FLAIR MR image.
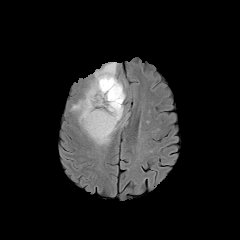
T1-weighted magnetic resonance.
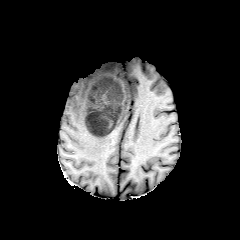
Post-contrast T1-weighted magnetic resonance.
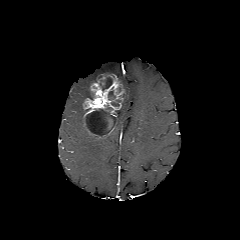
T2-weighted MR.
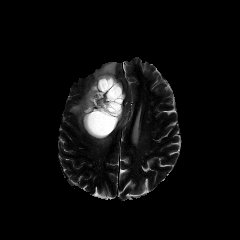
Head | 240x240
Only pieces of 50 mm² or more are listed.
<segmentation>
  <enhancing_tumor><bbox>83, 74, 124, 138</bbox></enhancing_tumor>
  <peritumoral_edema><bbox>70, 62, 128, 145</bbox></peritumoral_edema>
  <necrotic_tumor_core><bbox>85, 109, 116, 136</bbox>, <bbox>100, 77, 112, 90</bbox>, <bbox>108, 90, 115, 99</bbox></necrotic_tumor_core>
</segmentation>